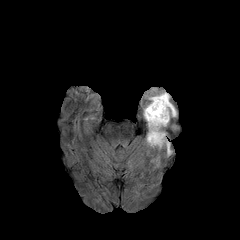
FLAIR MR.
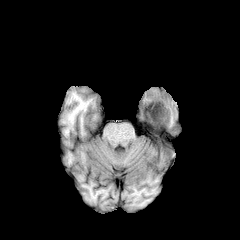
Same slice, T1-weighted MR.
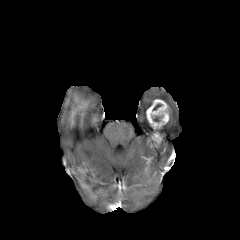
Post-contrast T1-weighted MR.
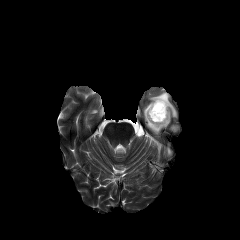
Same slice, T2-weighted MR image.
Brain. Image size 240x240. Axial slice.
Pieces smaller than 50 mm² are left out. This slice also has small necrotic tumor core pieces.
Annotated regions:
- peritumoral edema: {"x1": 146, "y1": 122, "x2": 154, "y2": 145}, {"x1": 156, "y1": 129, "x2": 171, "y2": 155}, {"x1": 143, "y1": 88, "x2": 176, "y2": 121}
- enhancing tumor: {"x1": 146, "y1": 99, "x2": 169, "y2": 146}